FLAIR magnetic resonance.
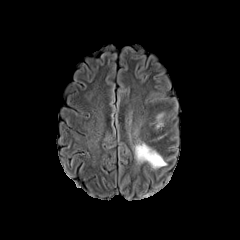
T1-weighted MR image.
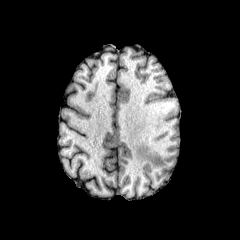
Post-contrast T1-weighted magnetic resonance.
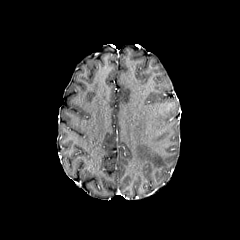
T2-weighted magnetic resonance.
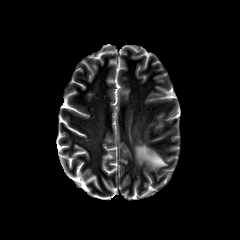
240x240
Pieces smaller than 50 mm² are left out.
The largest peritumoral edema region is located at [135,143,166,168].